Axial plane | Head | 240x240 | Slice index 114
FLAIR MR.
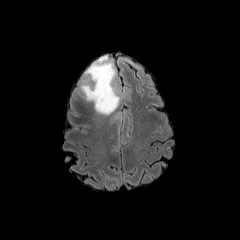
T1-weighted MRI.
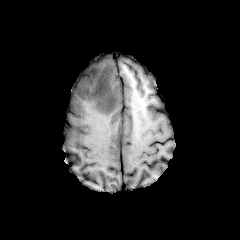
Post-contrast T1-weighted MR image.
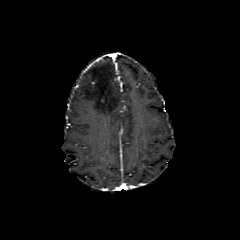
T2-weighted MR.
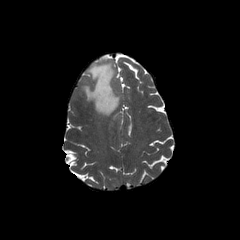
The peritumoral edema is bounded by x1=80 y1=56 x2=120 y2=115.